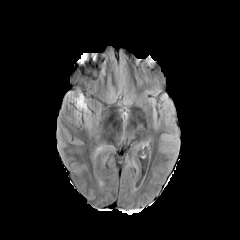
FLAIR MR image.
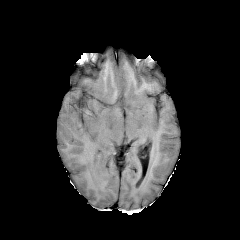
T1-weighted magnetic resonance.
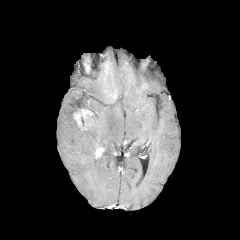
Post-contrast T1-weighted magnetic resonance of the same slice.
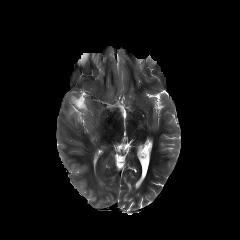
T2-weighted MR.
240x240 px | Brain | Axial view
<segmentation>
  <enhancing_tumor>box(74, 109, 91, 124)</enhancing_tumor>
  <peritumoral_edema>box(72, 93, 88, 113); box(81, 115, 91, 126)</peritumoral_edema>
</segmentation>